Axial slice | 240x240 px
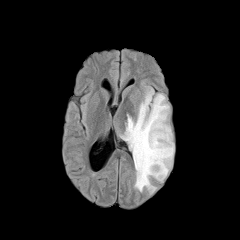
FLAIR MR image.
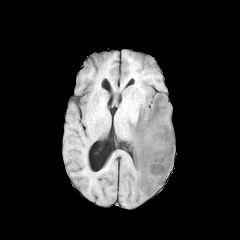
T1-weighted MR.
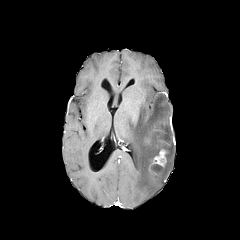
Post-contrast T1-weighted MRI of the same slice.
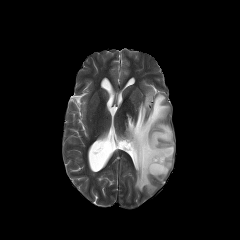
T2-weighted MR of the same slice.
- peritumoral edema: <box>121,89,174,193</box>
- enhancing tumor: <box>152,149,166,166</box>